FLAIR magnetic resonance.
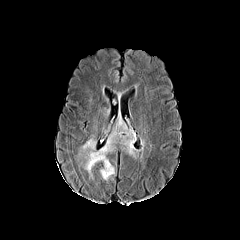
T1-weighted magnetic resonance.
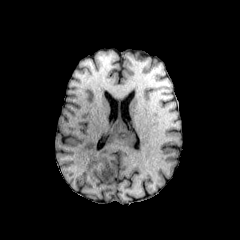
Post-contrast T1-weighted MRI.
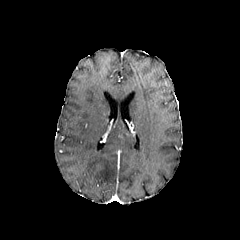
T2-weighted MR image.
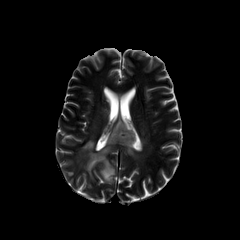
Axial view; Head
peritumoral edema: [77,120,134,180]